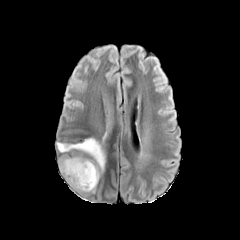
FLAIR MR image.
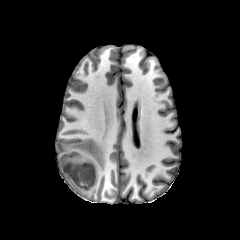
Same slice, T1-weighted MR.
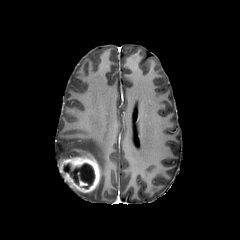
Post-contrast T1-weighted MRI.
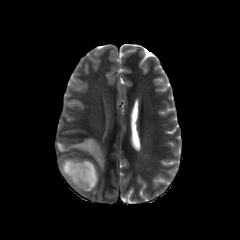
T2-weighted MR.
Brain. Axial plane.
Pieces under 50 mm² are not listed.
Findings:
* necrotic tumor core: region(63, 163, 94, 188)
* enhancing tumor: region(58, 155, 99, 192)
* peritumoral edema: region(56, 138, 105, 171)